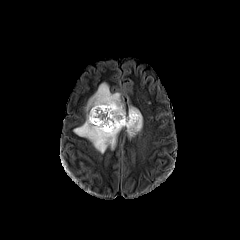
FLAIR magnetic resonance.
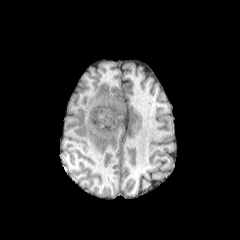
T1-weighted MRI.
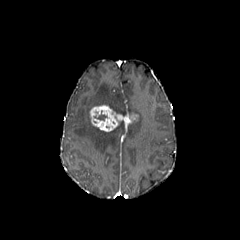
Post-contrast T1-weighted MRI.
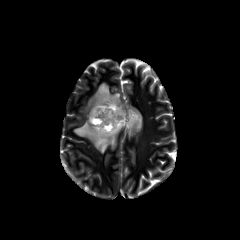
T2-weighted MR image.
Axial plane. Brain. 240x240 px.
necrotic tumor core at (x1=94, y1=111, x2=106, y2=120)
peritumoral edema at (x1=73, y1=82, x2=126, y2=153), (x1=127, y1=106, x2=142, y2=137)
enhancing tumor at (x1=90, y1=105, x2=137, y2=131)